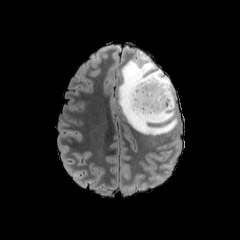
FLAIR magnetic resonance.
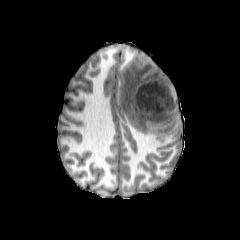
T1-weighted MR image.
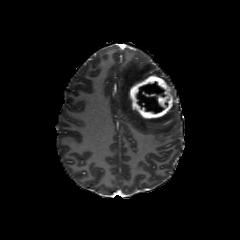
Same slice, post-contrast T1-weighted MR.
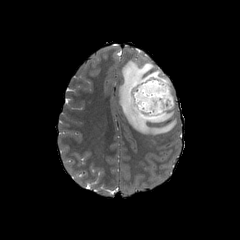
Same slice, T2-weighted magnetic resonance.
Head. Image size 240x240. Axial slice.
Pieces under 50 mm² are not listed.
<segmentation>
  <peritumoral_edema>(118, 49, 178, 135)</peritumoral_edema>
  <enhancing_tumor>(128, 75, 173, 119)</enhancing_tumor>
  <necrotic_tumor_core>(136, 81, 166, 113)</necrotic_tumor_core>
</segmentation>